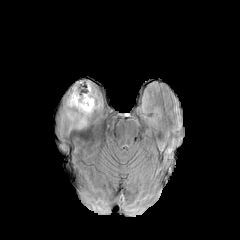
FLAIR magnetic resonance.
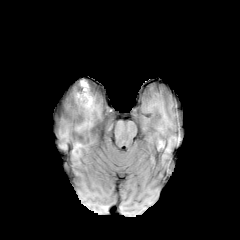
T1-weighted MR.
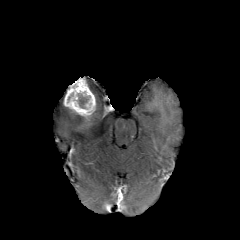
Post-contrast T1-weighted magnetic resonance.
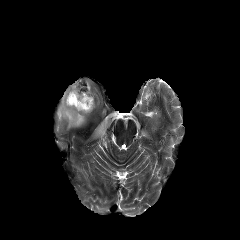
T2-weighted MR image.
Axial plane | Head | 240x240
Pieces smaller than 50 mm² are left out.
{"necrotic_tumor_core": ["box=[78, 94, 89, 108]"], "peritumoral_edema": ["box=[62, 106, 86, 127]"], "enhancing_tumor": ["box=[63, 79, 95, 117]"]}